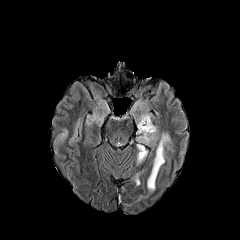
FLAIR MR.
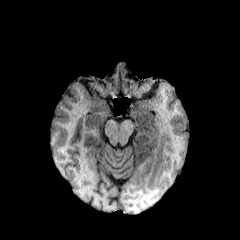
T1-weighted MRI.
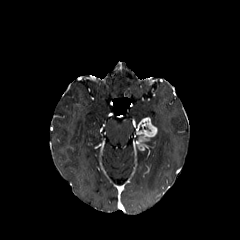
Post-contrast T1-weighted MR image.
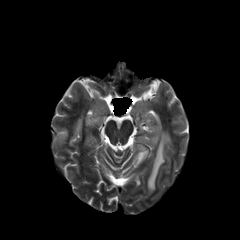
T2-weighted MRI.
240x240 px. Head. Axial slice.
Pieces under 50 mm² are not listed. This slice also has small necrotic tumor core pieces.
- peritumoral edema: [x1=147, y1=132, x2=170, y2=191], [x1=145, y1=133, x2=158, y2=144], [x1=138, y1=149, x2=147, y2=163], [x1=138, y1=112, x2=151, y2=122]
- enhancing tumor: [x1=136, y1=117, x2=157, y2=151]